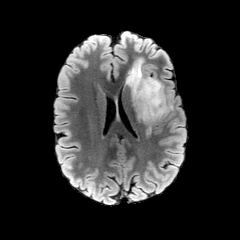
FLAIR magnetic resonance.
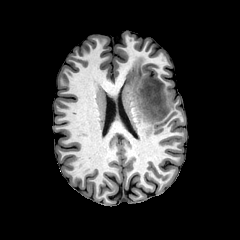
Same slice, T1-weighted magnetic resonance.
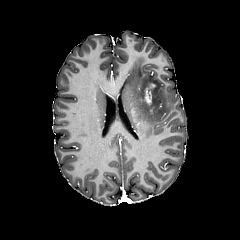
Post-contrast T1-weighted MR.
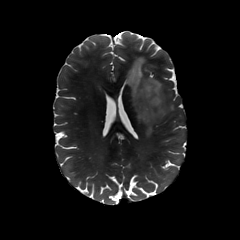
T2-weighted MR.
peritumoral edema: bounding box (left=126, top=58, right=172, bottom=134)
enhancing tumor: bounding box (left=144, top=83, right=155, bottom=104)